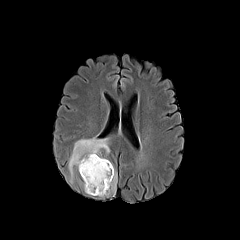
FLAIR MR image.
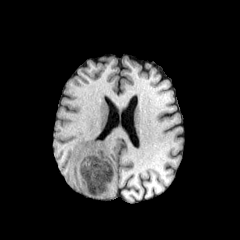
T1-weighted MR.
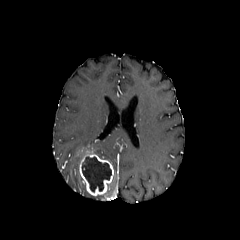
Post-contrast T1-weighted MRI of the same slice.
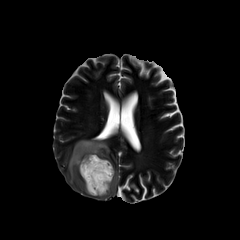
Same slice, T2-weighted MR.
Head | Axial view
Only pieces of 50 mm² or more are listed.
Findings:
- peritumoral edema: <bbox>105, 173, 116, 196</bbox>, <bbox>68, 137, 110, 183</bbox>
- necrotic tumor core: <bbox>82, 157, 111, 191</bbox>
- enhancing tumor: <bbox>79, 153, 114, 195</bbox>